Head | Image covers 240 mm x 240 mm | Axial plane
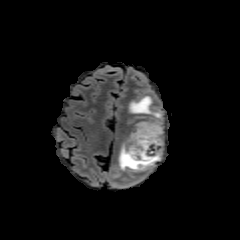
FLAIR magnetic resonance.
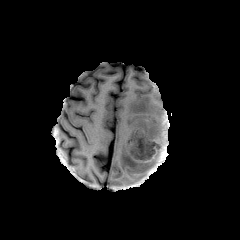
T1-weighted MRI.
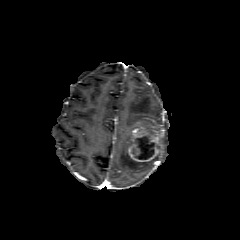
Post-contrast T1-weighted magnetic resonance.
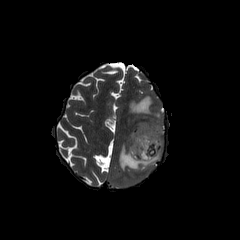
T2-weighted MR.
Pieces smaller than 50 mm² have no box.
enhancing tumor — box(127, 120, 163, 162)
necrotic tumor core — box(137, 136, 155, 159)
peritumoral edema — box(118, 137, 161, 171); box(126, 96, 161, 125)